FLAIR magnetic resonance.
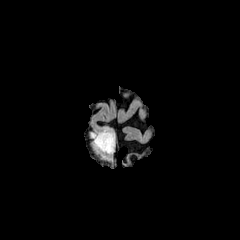
T1-weighted MRI.
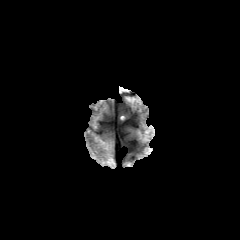
Post-contrast T1-weighted MR image.
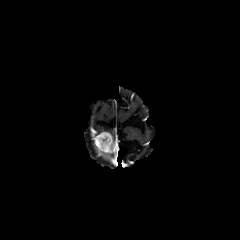
T2-weighted magnetic resonance.
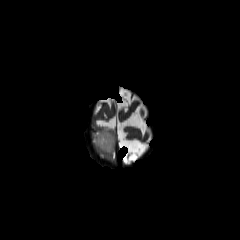
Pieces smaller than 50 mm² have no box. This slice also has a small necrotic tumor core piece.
peritumoral edema = <bbox>90, 130, 114, 142</bbox>
enhancing tumor = <bbox>94, 132, 114, 154</bbox>